FLAIR MR image.
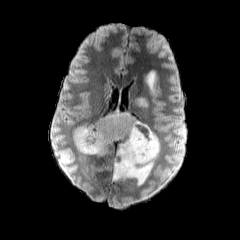
T1-weighted magnetic resonance.
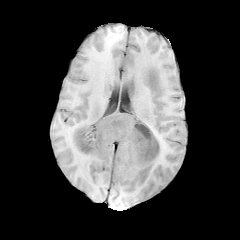
Post-contrast T1-weighted MRI.
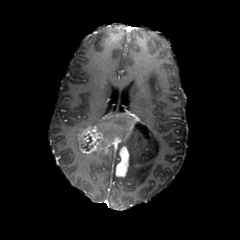
T2-weighted MRI.
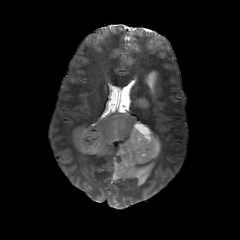
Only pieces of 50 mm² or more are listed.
<segmentation>
  <necrotic_tumor_core>box=[114, 117, 126, 127]; box=[82, 136, 92, 150]</necrotic_tumor_core>
  <peritumoral_edema>box=[73, 126, 87, 148]; box=[145, 70, 155, 92]; box=[136, 98, 147, 106]; box=[113, 121, 159, 185]; box=[82, 149, 113, 158]</peritumoral_edema>
  <enhancing_tumor>box=[76, 112, 136, 177]</enhancing_tumor>
</segmentation>